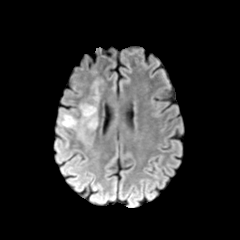
FLAIR MR image.
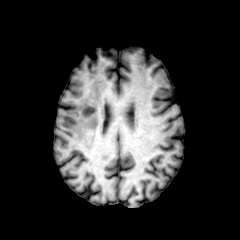
T1-weighted MRI of the same slice.
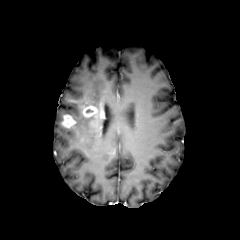
Same slice, post-contrast T1-weighted MR.
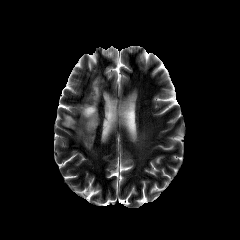
Same slice, T2-weighted MR.
240x240 px. Brain.
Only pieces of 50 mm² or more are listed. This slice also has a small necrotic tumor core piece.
{"enhancing_tumor": ["box=[81, 105, 97, 117]", "box=[61, 115, 75, 127]"], "peritumoral_edema": ["box=[82, 113, 98, 130]"]}